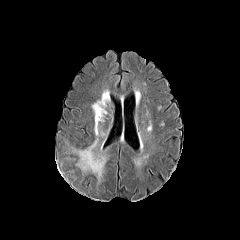
FLAIR MR image.
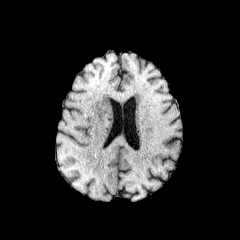
T1-weighted MR.
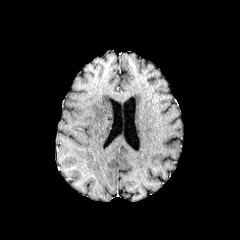
Post-contrast T1-weighted MR image of the same slice.
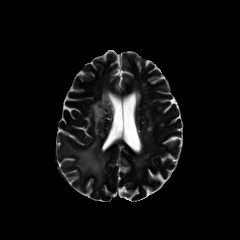
T2-weighted magnetic resonance of the same slice.
240x240
{"peritumoral_edema": ["[x1=78, y1=141, x2=105, y2=178]", "[x1=92, y1=95, x2=107, y2=134]"]}